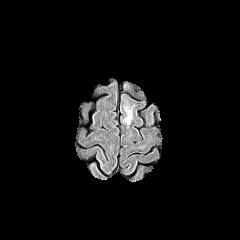
FLAIR MRI.
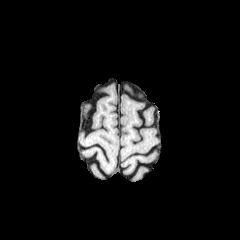
T1-weighted MR image.
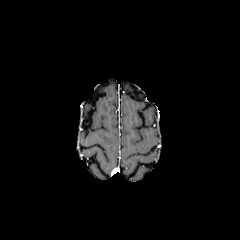
Post-contrast T1-weighted MRI.
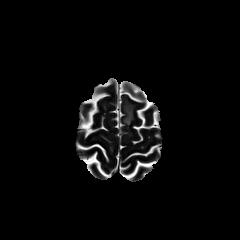
T2-weighted MR image.
Head
The peritumoral edema is located at 123 97 137 125.